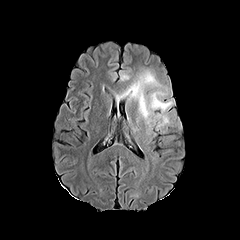
FLAIR MR.
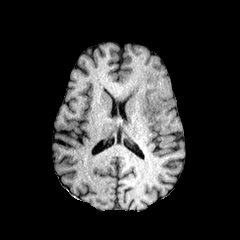
T1-weighted magnetic resonance.
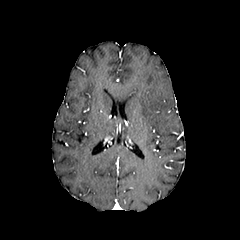
Post-contrast T1-weighted magnetic resonance of the same slice.
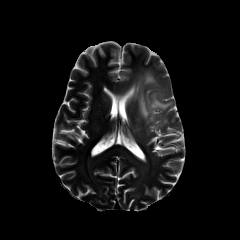
T2-weighted MR.
Axial view
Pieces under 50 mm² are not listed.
{
  "peritumoral_edema": [
    {"x1": 116, "y1": 70, "x2": 172, "y2": 124},
    {"x1": 155, "y1": 114, "x2": 168, "y2": 127}
  ]
}